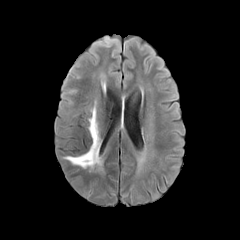
FLAIR MR.
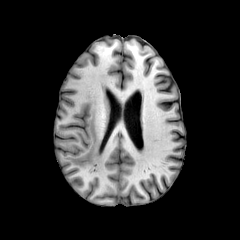
T1-weighted MRI.
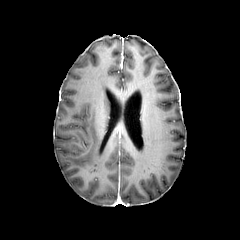
Same slice, post-contrast T1-weighted MRI.
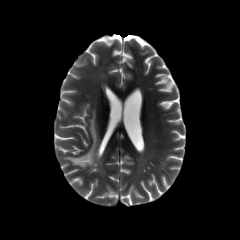
T2-weighted MRI.
Axial plane.
peritumoral edema: (65, 108, 102, 170)